FLAIR MRI.
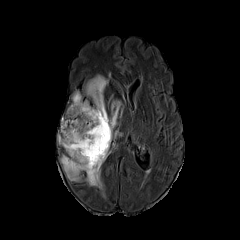
T1-weighted MR.
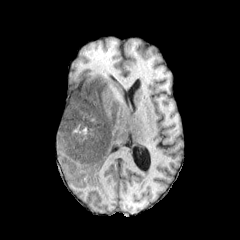
Post-contrast T1-weighted MR image.
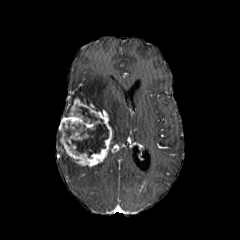
T2-weighted MR image.
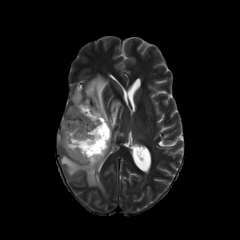
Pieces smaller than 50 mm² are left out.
enhancing tumor at x1=59, y1=97, x2=112, y2=167
necrotic tumor core at x1=65, y1=124, x2=80, y2=137; x1=78, y1=107, x2=102, y2=123; x1=71, y1=123, x2=108, y2=157
peritumoral edema at x1=85, y1=74, x2=108, y2=110; x1=109, y1=100, x2=122, y2=140; x1=60, y1=155, x2=103, y2=191; x1=72, y1=91, x2=89, y2=104